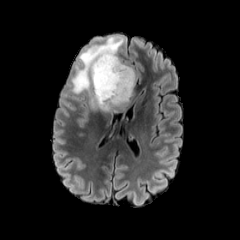
FLAIR magnetic resonance.
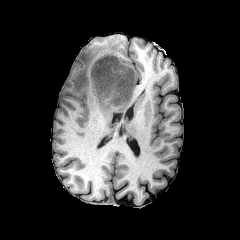
T1-weighted MR image of the same slice.
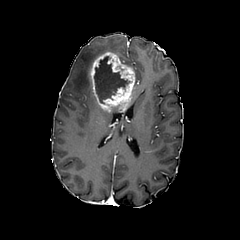
Same slice, post-contrast T1-weighted MR.
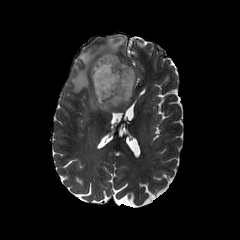
T2-weighted MR.
Head; Image size 240x240; Axial plane
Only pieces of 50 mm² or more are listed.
{
  "necrotic_tumor_core": [
    "left=94, top=56, right=129, bottom=103"
  ],
  "peritumoral_edema": [
    "left=71, top=36, right=123, bottom=110"
  ],
  "enhancing_tumor": [
    "left=90, top=52, right=135, bottom=112"
  ]
}